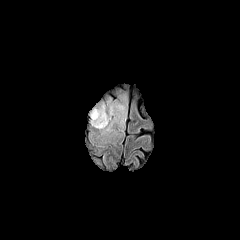
FLAIR MR image.
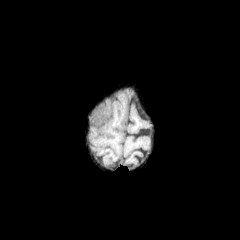
T1-weighted magnetic resonance of the same slice.
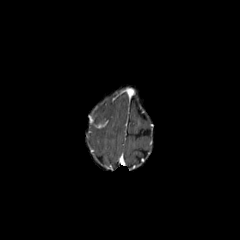
Post-contrast T1-weighted magnetic resonance of the same slice.
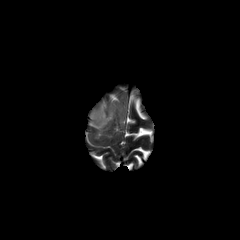
T2-weighted magnetic resonance.
Brain
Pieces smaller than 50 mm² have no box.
<segmentation>
  <enhancing_tumor>94,118,108,128</enhancing_tumor>
  <necrotic_tumor_core>93,115,103,124</necrotic_tumor_core>
  <peritumoral_edema>93,103,126,135</peritumoral_edema>
</segmentation>